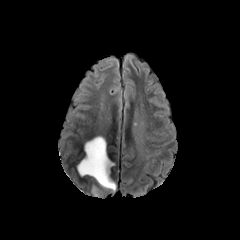
FLAIR MR image.
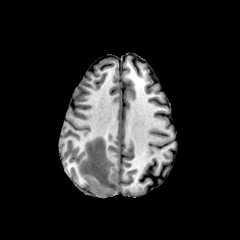
T1-weighted MR image of the same slice.
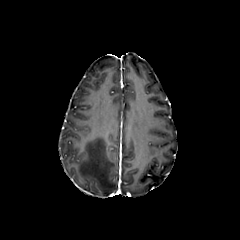
Post-contrast T1-weighted magnetic resonance.
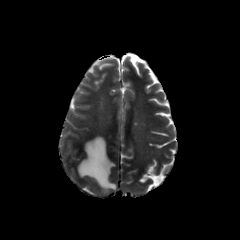
T2-weighted MR image.
Head; Axial plane
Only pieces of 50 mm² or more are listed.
<segmentation>
  <peritumoral_edema>(77,136,116,191)</peritumoral_edema>
</segmentation>